FLAIR MR.
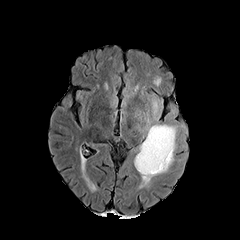
T1-weighted magnetic resonance.
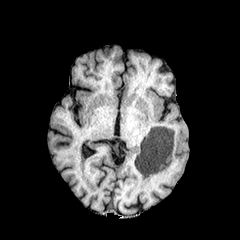
Post-contrast T1-weighted MR image.
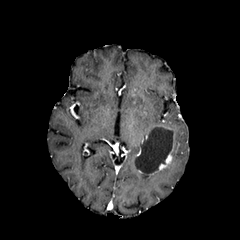
T2-weighted MR image.
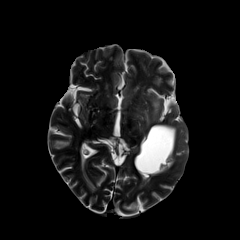
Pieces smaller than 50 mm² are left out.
necrotic_tumor_core:
  - {"x1": 136, "y1": 126, "x2": 173, "y2": 174}
peritumoral_edema:
  - {"x1": 152, "y1": 99, "x2": 159, "y2": 120}
  - {"x1": 140, "y1": 152, "x2": 174, "y2": 186}
  - {"x1": 146, "y1": 118, "x2": 177, "y2": 151}
enhancing_tumor:
  - {"x1": 155, "y1": 126, "x2": 175, "y2": 172}